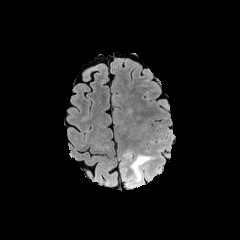
FLAIR MRI.
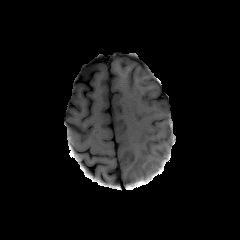
T1-weighted MRI.
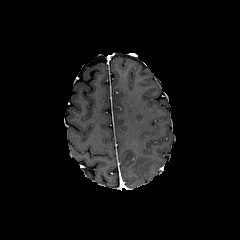
Post-contrast T1-weighted MRI.
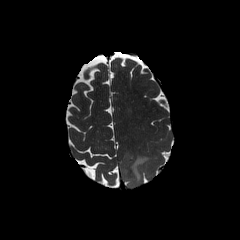
T2-weighted magnetic resonance.
Head.
• peritumoral edema: (x1=122, y1=154, x2=154, y2=187), (x1=122, y1=150, x2=132, y2=163)